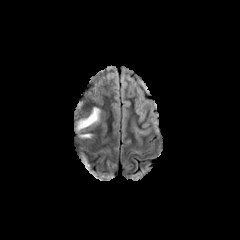
FLAIR magnetic resonance.
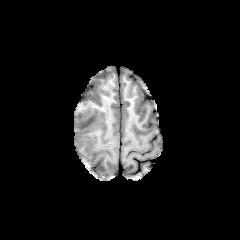
T1-weighted magnetic resonance.
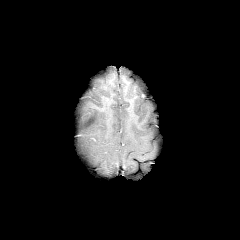
Post-contrast T1-weighted MRI.
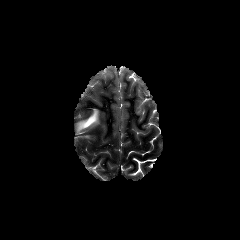
Same slice, T2-weighted MR image.
Head; 240x240
The peritumoral edema is located at 75,107,100,138.